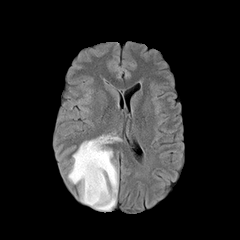
FLAIR MR image.
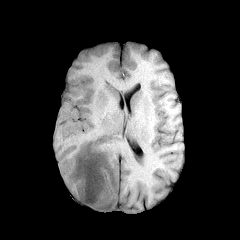
T1-weighted MR.
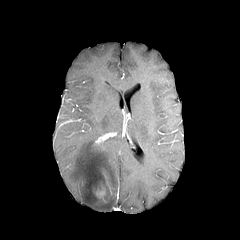
Post-contrast T1-weighted magnetic resonance.
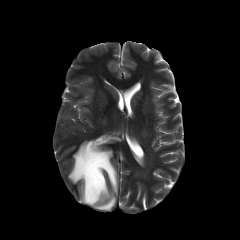
Same slice, T2-weighted MR.
Brain
The enhancing tumor is located at (95,185,105,201). The peritumoral edema is bounded by (68,137,119,210).